Brain
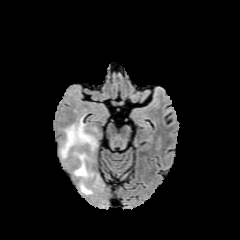
FLAIR MRI.
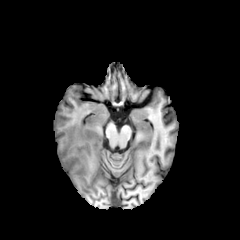
T1-weighted magnetic resonance of the same slice.
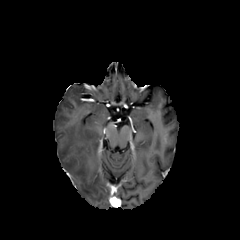
Same slice, post-contrast T1-weighted MR.
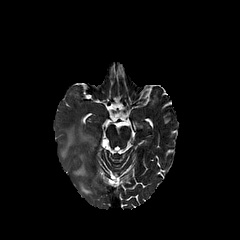
T2-weighted MRI.
peritumoral edema at (left=72, top=151, right=91, bottom=178), (left=60, top=118, right=97, bottom=159), (left=79, top=182, right=92, bottom=194)